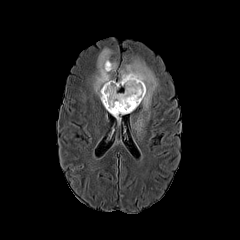
FLAIR MR image.
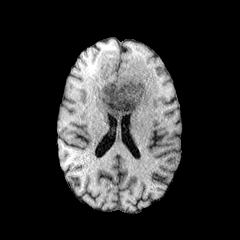
T1-weighted magnetic resonance.
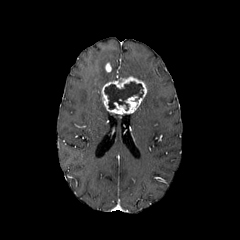
Post-contrast T1-weighted MR of the same slice.
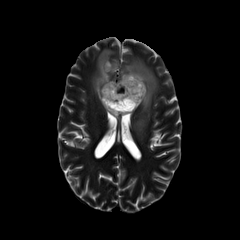
Same slice, T2-weighted MR.
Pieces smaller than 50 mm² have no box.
The largest necrotic tumor core region is bounded by left=104, top=82, right=143, bottom=110. The 2 largest enhancing tumor regions are bounded by left=105, top=62, right=111, bottom=72; left=101, top=76, right=147, bottom=114. The 2 largest peritumoral edema regions are bounded by left=120, top=58, right=157, bottom=134; left=93, top=48, right=117, bottom=101.